FLAIR magnetic resonance.
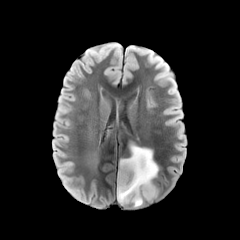
T1-weighted MR image.
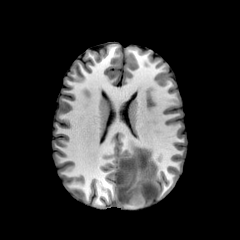
Post-contrast T1-weighted magnetic resonance.
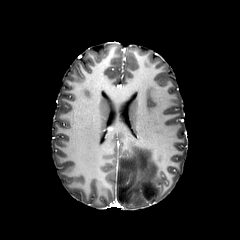
T2-weighted MR.
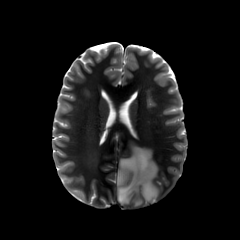
Brain.
peritumoral_edema:
  - (117,145,158,207)
necrotic_tumor_core:
  - (121,168,131,183)